FLAIR MR image.
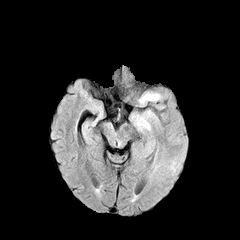
T1-weighted magnetic resonance.
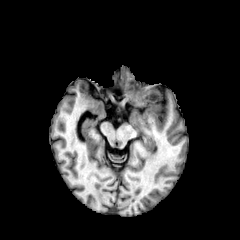
Post-contrast T1-weighted MRI.
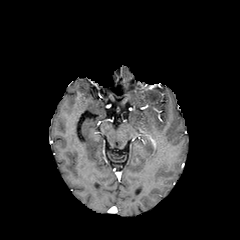
T2-weighted magnetic resonance.
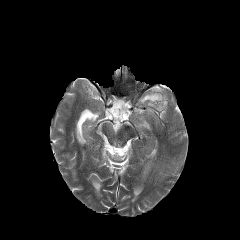
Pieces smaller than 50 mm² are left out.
Annotated regions:
- peritumoral edema: (136,116,150,129), (139,93,161,103)